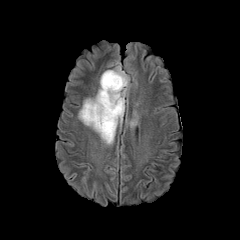
FLAIR MR.
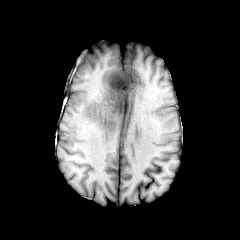
T1-weighted MR image.
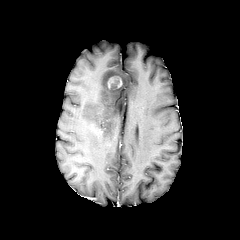
Post-contrast T1-weighted MRI.
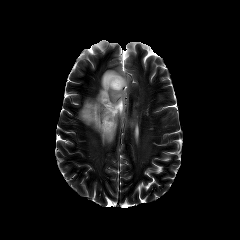
T2-weighted MRI.
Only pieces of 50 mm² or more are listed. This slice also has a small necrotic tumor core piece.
The 2 largest peritumoral edema regions are located at 129, 119, 137, 127; 78, 62, 129, 144. The enhancing tumor is located at 107, 75, 123, 90.